Head, Image size 240x240, Axial slice
FLAIR MR.
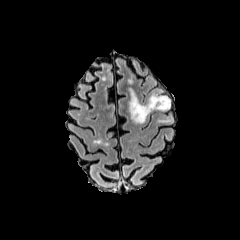
T1-weighted MR image.
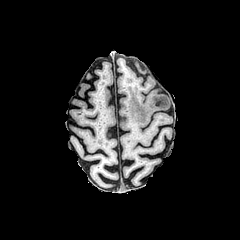
Post-contrast T1-weighted MR image.
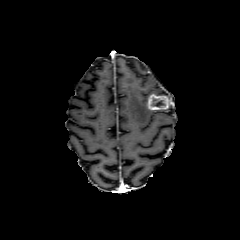
T2-weighted MRI.
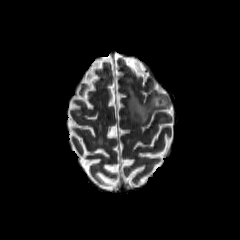
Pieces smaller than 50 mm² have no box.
Annotated regions:
• peritumoral edema: (left=129, top=90, right=152, bottom=123)
• necrotic tumor core: (left=151, top=98, right=165, bottom=108)
• enhancing tumor: (left=147, top=93, right=170, bottom=110)